Slice 54/155, 240x240 px, Brain
FLAIR MR image.
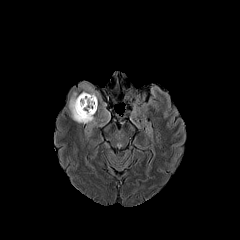
T1-weighted magnetic resonance.
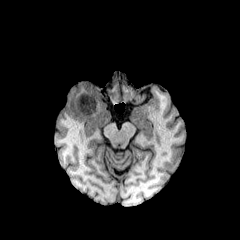
Post-contrast T1-weighted MR.
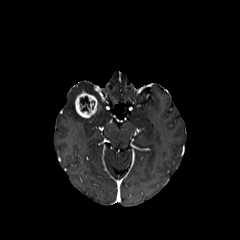
T2-weighted magnetic resonance.
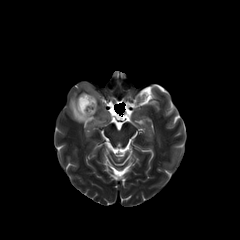
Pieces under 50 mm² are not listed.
necrotic tumor core — 80 96 90 112
peritumoral edema — 79 82 97 99, 68 92 109 136
enhancing tumor — 75 92 97 118